Head; 240x240 px; Slice 91 of 155
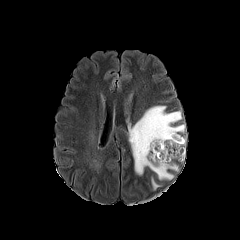
FLAIR MR.
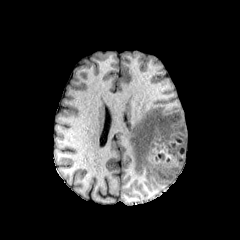
T1-weighted magnetic resonance.
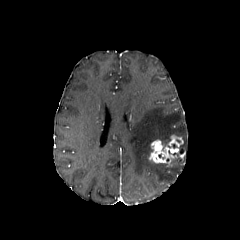
Post-contrast T1-weighted MR image.
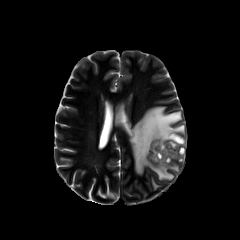
T2-weighted MR image.
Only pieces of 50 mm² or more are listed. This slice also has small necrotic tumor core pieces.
{
  "enhancing_tumor": [
    "<bbox>148, 135, 185, 165</bbox>"
  ],
  "peritumoral_edema": [
    "<bbox>151, 178, 159, 189</bbox>",
    "<bbox>129, 106, 185, 180</bbox>"
  ]
}